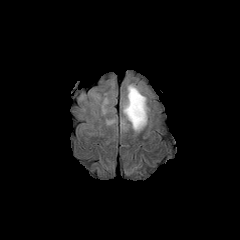
FLAIR MR.
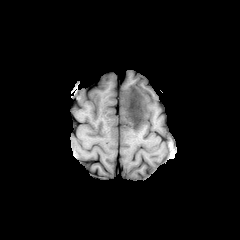
Same slice, T1-weighted MR image.
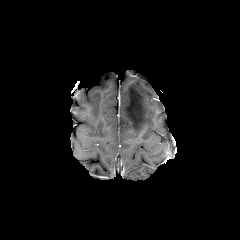
Post-contrast T1-weighted MR image.
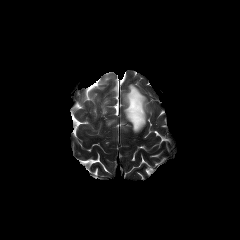
T2-weighted MR image.
Axial plane. Brain.
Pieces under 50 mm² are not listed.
peritumoral edema: 123:84:148:132